FLAIR MR.
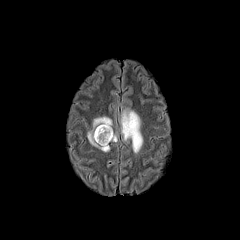
T1-weighted MRI.
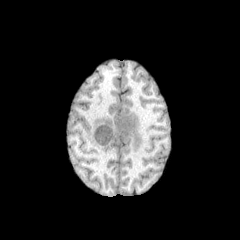
Post-contrast T1-weighted MR.
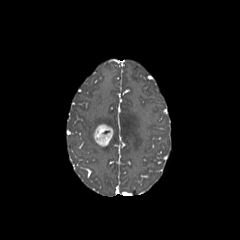
T2-weighted magnetic resonance.
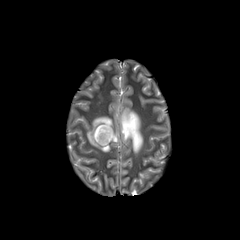
Axial plane, 240x240 px
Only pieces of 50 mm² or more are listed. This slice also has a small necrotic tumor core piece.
• peritumoral edema: {"x1": 87, "y1": 116, "x2": 112, "y2": 151}, {"x1": 111, "y1": 132, "x2": 117, "y2": 142}, {"x1": 120, "y1": 108, "x2": 143, "y2": 153}
• enhancing tumor: {"x1": 94, "y1": 124, "x2": 113, "y2": 146}